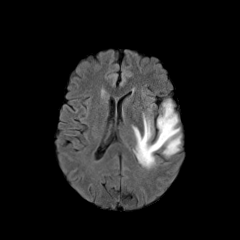
FLAIR magnetic resonance.
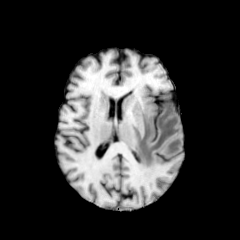
T1-weighted MRI of the same slice.
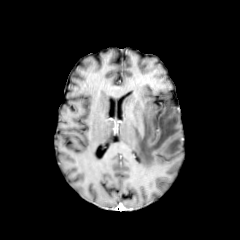
Post-contrast T1-weighted MRI.
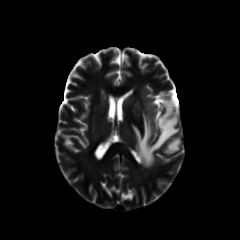
T2-weighted MRI of the same slice.
240x240, Axial slice
2 peritumoral edema regions are located at box(164, 139, 180, 154); box(134, 102, 179, 166).